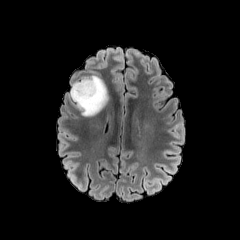
FLAIR magnetic resonance.
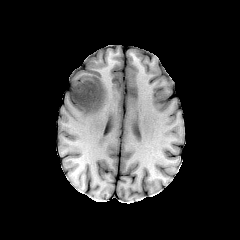
T1-weighted magnetic resonance.
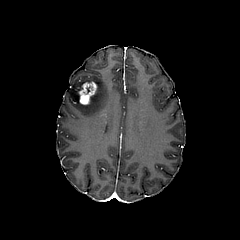
Post-contrast T1-weighted MRI of the same slice.
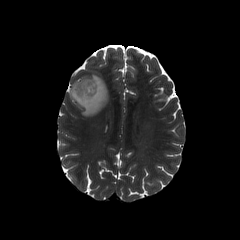
T2-weighted MR.
Head
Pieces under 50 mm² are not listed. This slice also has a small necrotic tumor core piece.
The peritumoral edema lies within x1=68, y1=75, x2=108, y2=116. The enhancing tumor is located at x1=78, y1=81, x2=97, y2=104.